FLAIR magnetic resonance.
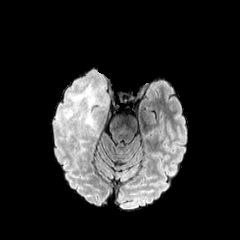
T1-weighted magnetic resonance.
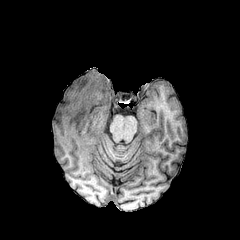
Post-contrast T1-weighted MRI.
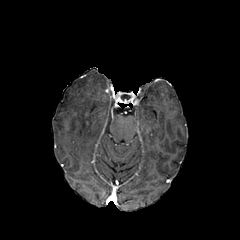
T2-weighted MRI.
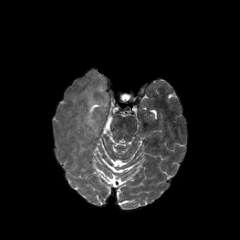
Head, Axial plane
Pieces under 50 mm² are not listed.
peritumoral edema — rect(55, 69, 110, 135)